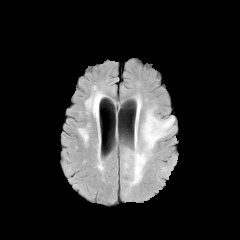
FLAIR MR image.
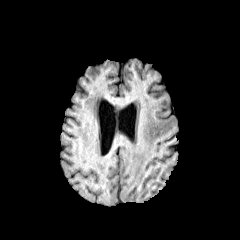
T1-weighted magnetic resonance of the same slice.
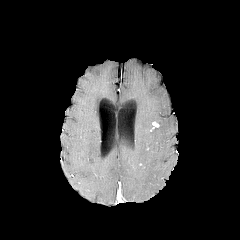
Post-contrast T1-weighted MRI.
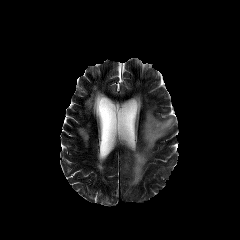
T2-weighted MRI.
Axial slice; Brain
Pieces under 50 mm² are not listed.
The peritumoral edema is at region(124, 96, 174, 186). The largest enhancing tumor region is at region(150, 121, 159, 131).